Slice index 111. Brain.
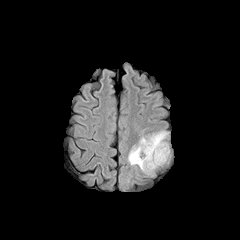
FLAIR MR image.
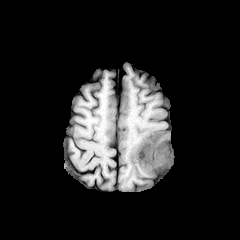
Same slice, T1-weighted MR.
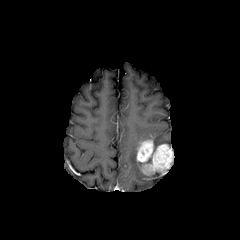
Post-contrast T1-weighted MR image of the same slice.
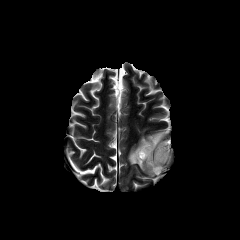
T2-weighted MR of the same slice.
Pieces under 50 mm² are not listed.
{"peritumoral_edema": ["(151, 130, 168, 149)", "(128, 143, 140, 168)"], "enhancing_tumor": ["(136, 135, 173, 175)"]}